Axial view. Head. 240x240.
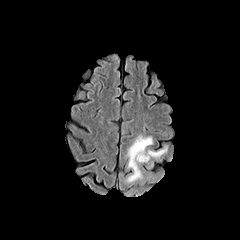
FLAIR MRI.
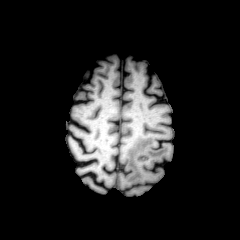
T1-weighted MR.
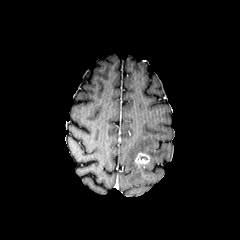
Same slice, post-contrast T1-weighted MR image.
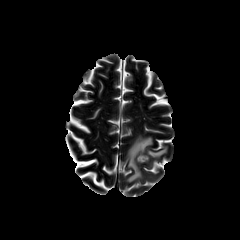
Same slice, T2-weighted MR.
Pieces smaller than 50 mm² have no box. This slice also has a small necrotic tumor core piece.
enhancing_tumor:
  - [135,152,149,166]
peritumoral_edema:
  - [125,134,168,183]